Slice 98 of 155
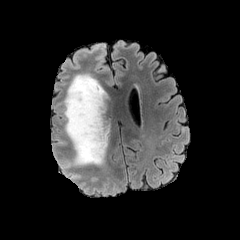
FLAIR MRI.
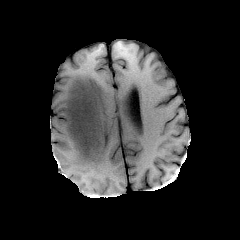
T1-weighted MRI of the same slice.
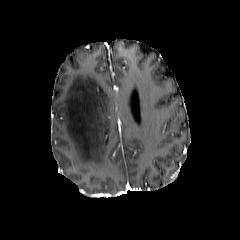
Post-contrast T1-weighted magnetic resonance.
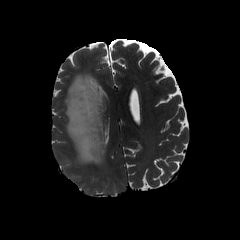
T2-weighted MR of the same slice.
peritumoral edema: bounding box box(64, 73, 111, 165)